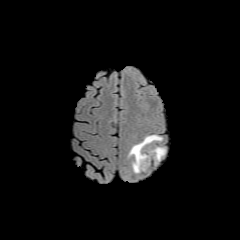
FLAIR MR image.
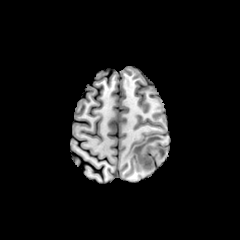
T1-weighted MRI.
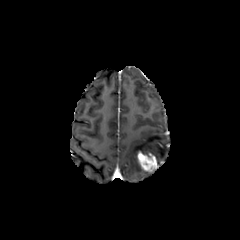
Post-contrast T1-weighted MR image.
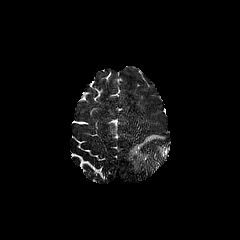
Same slice, T2-weighted MR image.
Axial plane | Image size 240x240 | Brain
The enhancing tumor lies within [x1=135, y1=149, x2=158, y2=172]. 2 peritumoral edema regions are located at [x1=153, y1=147, x2=165, y2=161], [x1=128, y1=135, x2=162, y2=172].